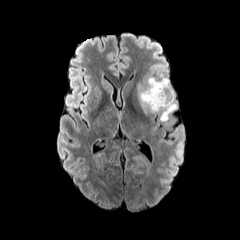
FLAIR magnetic resonance.
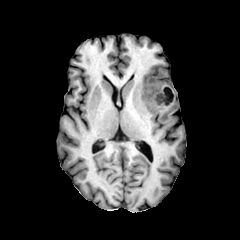
T1-weighted magnetic resonance.
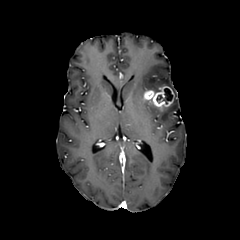
Post-contrast T1-weighted magnetic resonance of the same slice.
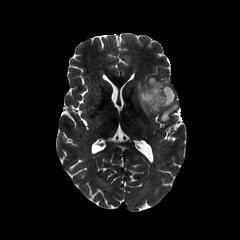
T2-weighted MRI.
Image size 240x240, Axial plane, Head
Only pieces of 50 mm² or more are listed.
necrotic_tumor_core:
  - [156,88,172,104]
peritumoral_edema:
  - [136,76,177,121]
enhancing_tumor:
  - [143,86,174,108]